FLAIR magnetic resonance.
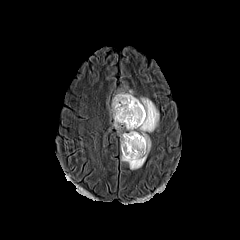
T1-weighted MR image.
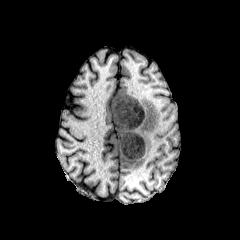
Post-contrast T1-weighted magnetic resonance.
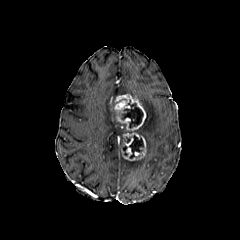
T2-weighted MRI.
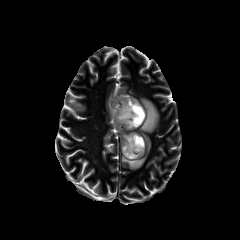
Head
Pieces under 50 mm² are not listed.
Segmented structures:
• enhancing tumor: 113, 94, 146, 160
• peritumoral edema: 121, 97, 159, 169; 116, 90, 133, 96; 112, 98, 126, 144
• necrotic tumor core: 129, 135, 143, 158; 121, 103, 143, 127